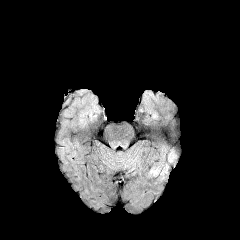
FLAIR magnetic resonance.
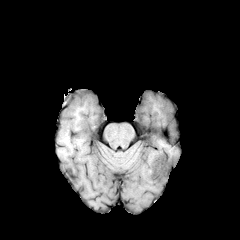
T1-weighted magnetic resonance.
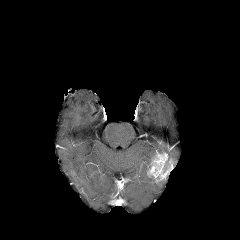
Post-contrast T1-weighted MR.
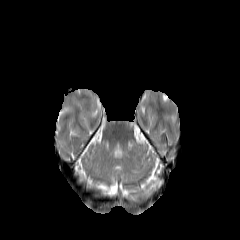
Same slice, T2-weighted MR image.
Brain; Axial slice
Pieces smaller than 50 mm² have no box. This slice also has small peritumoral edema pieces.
enhancing_tumor:
  - x1=147, y1=152, x2=173, y2=182